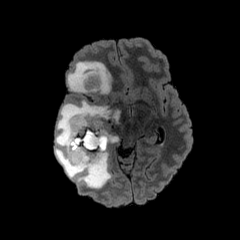
FLAIR MR.
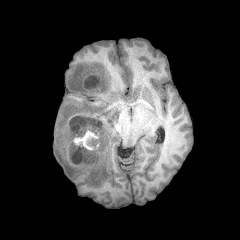
T1-weighted MRI.
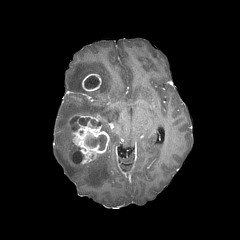
Post-contrast T1-weighted MR image.
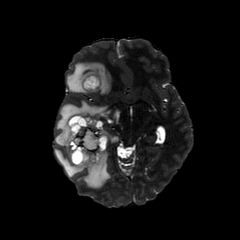
T2-weighted MRI.
Brain
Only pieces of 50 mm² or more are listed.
peritumoral edema: (55, 100, 111, 188), (113, 110, 119, 122), (102, 123, 118, 143), (67, 61, 111, 94)
enhancing tumor: (68, 115, 109, 164), (82, 73, 101, 91)
necrotic tumor core: (72, 150, 83, 163), (84, 76, 99, 88), (69, 116, 99, 131), (85, 132, 106, 150)